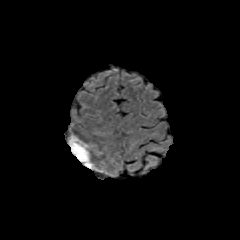
FLAIR MRI.
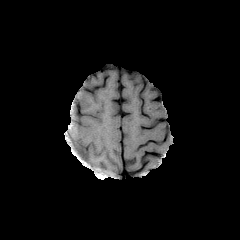
T1-weighted MRI.
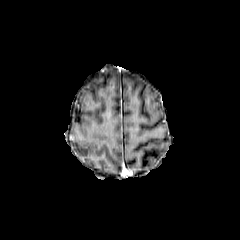
Post-contrast T1-weighted MRI of the same slice.
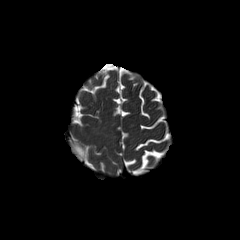
T2-weighted MRI.
Head
Segmented structures:
• peritumoral edema: {"x1": 69, "y1": 135, "x2": 93, "y2": 167}